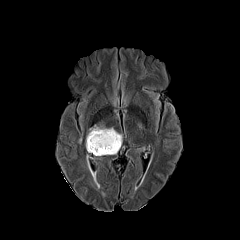
FLAIR MR.
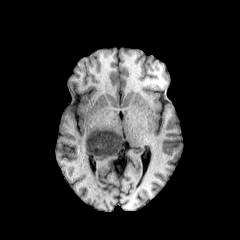
T1-weighted MRI.
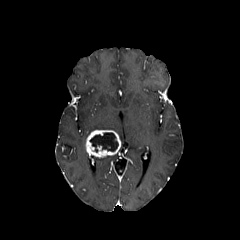
Post-contrast T1-weighted MR.
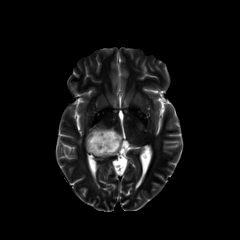
T2-weighted MR image of the same slice.
Head.
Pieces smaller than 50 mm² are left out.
The necrotic tumor core is bounded by {"x1": 89, "y1": 132, "x2": 118, "y2": 152}. The largest peritumoral edema region is bounded by {"x1": 87, "y1": 125, "x2": 114, "y2": 136}. The enhancing tumor appears at {"x1": 85, "y1": 130, "x2": 121, "y2": 157}.